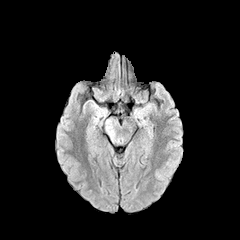
FLAIR MRI.
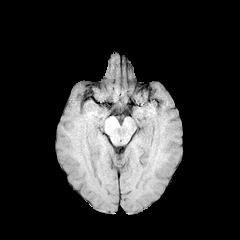
Same slice, T1-weighted MRI.
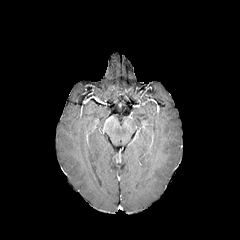
Post-contrast T1-weighted MR image of the same slice.
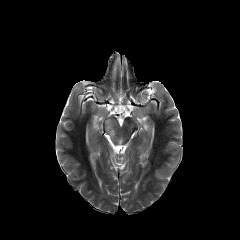
T2-weighted MR.
Head | 240x240 | Axial slice
peritumoral_edema:
  - <bbox>106, 121, 119, 142</bbox>